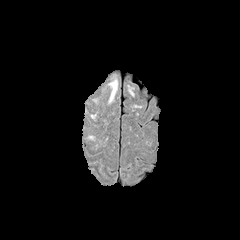
FLAIR MR image.
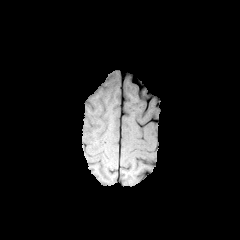
T1-weighted MRI of the same slice.
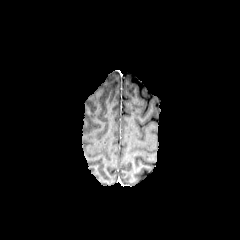
Post-contrast T1-weighted MR of the same slice.
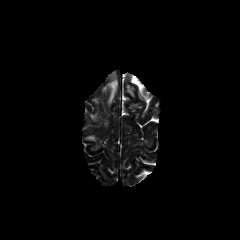
Same slice, T2-weighted magnetic resonance.
Brain | Axial plane
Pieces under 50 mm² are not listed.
peritumoral_edema:
  - box=[107, 75, 118, 103]